Slice 53/155; 240x240; Head
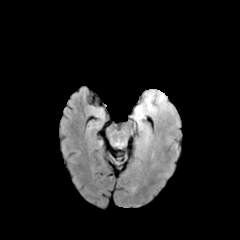
FLAIR MRI.
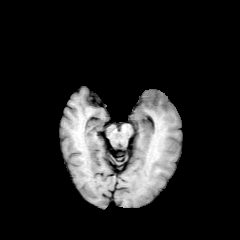
T1-weighted MRI.
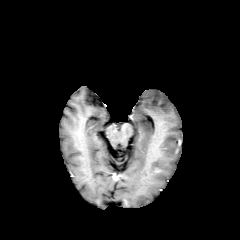
Post-contrast T1-weighted MRI.
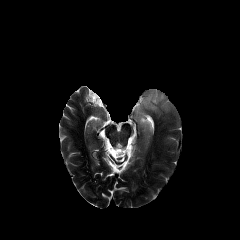
T2-weighted MR.
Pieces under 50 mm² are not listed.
<segmentation>
  <peritumoral_edema>bbox(132, 89, 174, 144)</peritumoral_edema>
</segmentation>